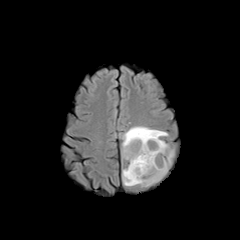
FLAIR magnetic resonance.
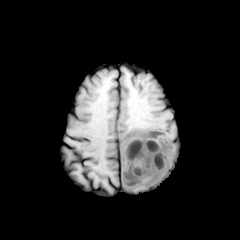
T1-weighted MR.
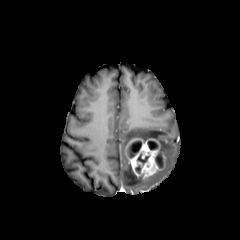
Post-contrast T1-weighted MRI of the same slice.
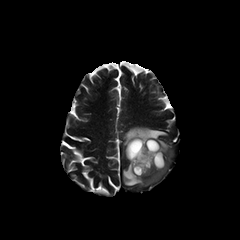
T2-weighted MR.
Axial view
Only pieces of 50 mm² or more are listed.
The enhancing tumor lies within 124,137,164,177. The peritumoral edema is at 122,126,174,186. The 4 largest necrotic tumor core regions are located at 147,140,157,149; 155,154,161,168; 131,140,141,152; 137,154,149,165.